Slice 82 of 155. 240x240 px.
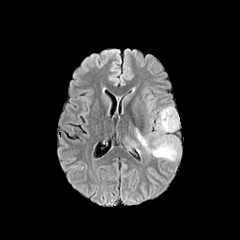
FLAIR MRI.
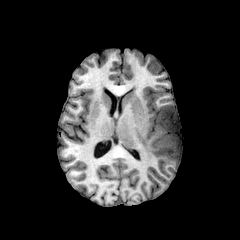
T1-weighted MRI.
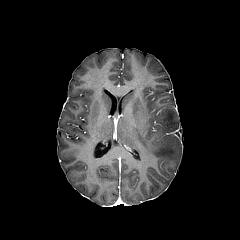
Post-contrast T1-weighted MRI of the same slice.
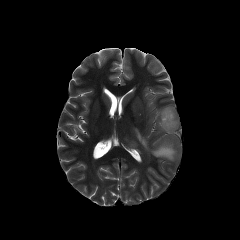
T2-weighted magnetic resonance of the same slice.
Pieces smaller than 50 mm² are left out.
- peritumoral edema: rect(135, 106, 180, 161)